Brain; Slice 91/155
FLAIR MR.
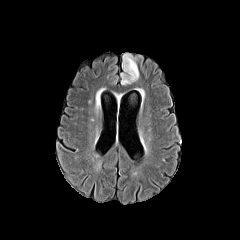
T1-weighted MRI.
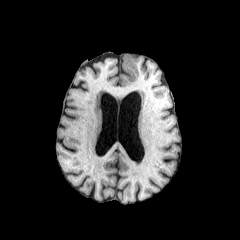
Post-contrast T1-weighted MR image.
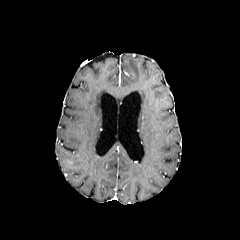
T2-weighted magnetic resonance.
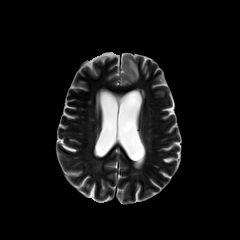
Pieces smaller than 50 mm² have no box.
<segmentation>
  <peritumoral_edema>(121, 53, 139, 84)</peritumoral_edema>
</segmentation>